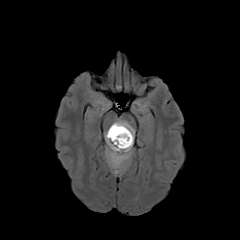
FLAIR magnetic resonance.
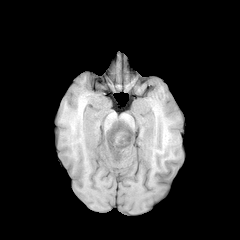
T1-weighted MR.
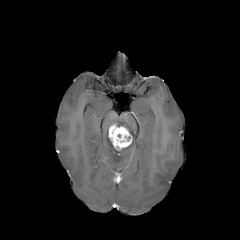
Post-contrast T1-weighted magnetic resonance of the same slice.
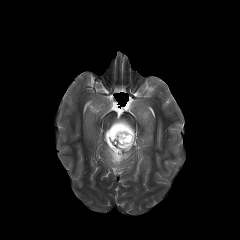
T2-weighted MRI.
Brain. 240x240.
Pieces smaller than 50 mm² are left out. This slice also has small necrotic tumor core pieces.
The enhancing tumor lies within l=108, t=123, r=132, b=150. The peritumoral edema is located at l=104, t=118, r=134, b=173.